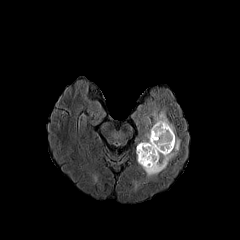
FLAIR MRI.
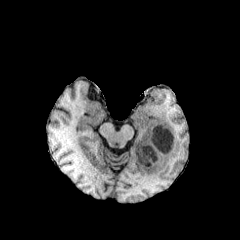
Same slice, T1-weighted MR.
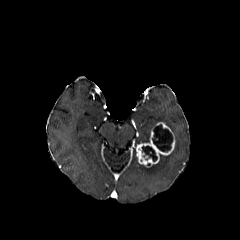
Post-contrast T1-weighted MRI of the same slice.
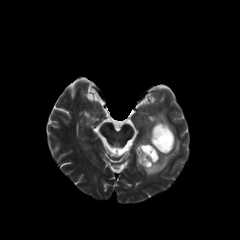
Same slice, T2-weighted MR image.
240x240 px.
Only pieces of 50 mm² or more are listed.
peritumoral_edema:
  - 139, 110, 180, 178
  - 140, 132, 150, 142
enhancing_tumor:
  - 136, 122, 175, 167
necrotic_tumor_core:
  - 152, 124, 172, 152
  - 141, 145, 157, 161